Brain | Slice 46/155
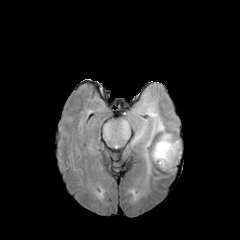
FLAIR MRI.
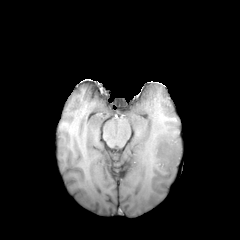
T1-weighted MRI.
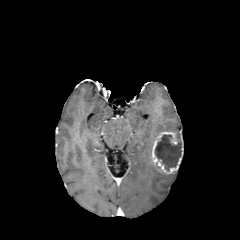
Post-contrast T1-weighted MR.
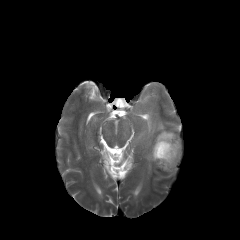
Same slice, T2-weighted magnetic resonance.
<segmentation>
  <peritumoral_edema>129 189 140 200, 131 94 179 177</peritumoral_edema>
  <necrotic_tumor_core>155 135 181 170</necrotic_tumor_core>
  <enhancing_tumor>151 131 183 173</enhancing_tumor>
</segmentation>